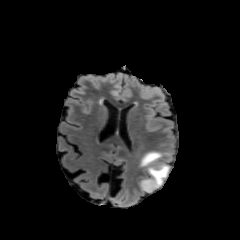
FLAIR MR image.
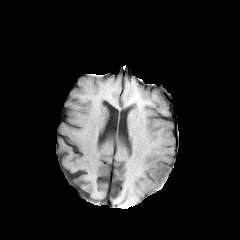
T1-weighted magnetic resonance of the same slice.
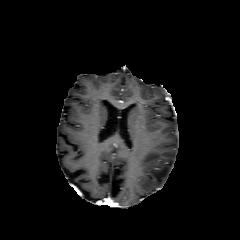
Same slice, post-contrast T1-weighted MR.
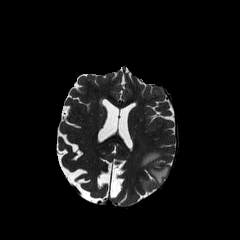
Same slice, T2-weighted MR.
The peritumoral edema lies within [140,152,169,190].